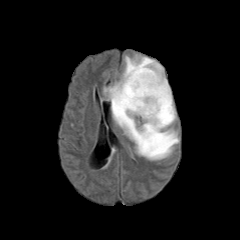
FLAIR MR.
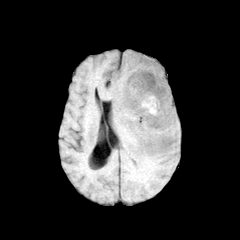
Same slice, T1-weighted MR.
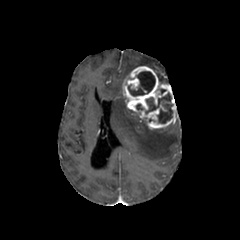
Post-contrast T1-weighted MR image.
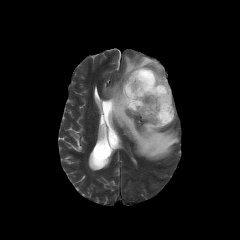
T2-weighted MR image.
Head | Axial view | Image size 240x240
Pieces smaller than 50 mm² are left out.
Annotated regions:
- necrotic tumor core: [145,93,172,123], [128,71,155,95]
- peritumoral edema: [103,55,179,160]
- enhancing tumor: [122,66,177,129]